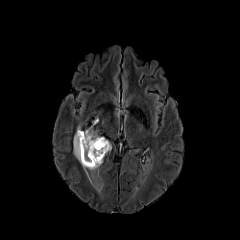
FLAIR MR.
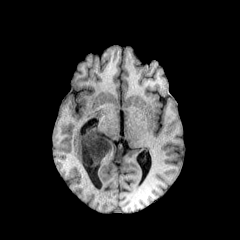
T1-weighted MR of the same slice.
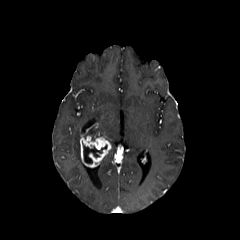
Same slice, post-contrast T1-weighted magnetic resonance.
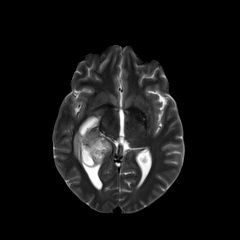
T2-weighted magnetic resonance of the same slice.
Axial view
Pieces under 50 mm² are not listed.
The largest enhancing tumor region is at bbox(80, 134, 111, 167). The largest necrotic tumor core region lies within bbox(83, 144, 107, 163). The largest peritumoral edema region is bounded by bbox(73, 125, 101, 169).